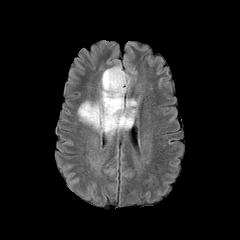
FLAIR MR.
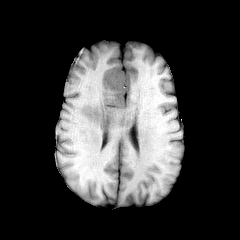
T1-weighted MRI.
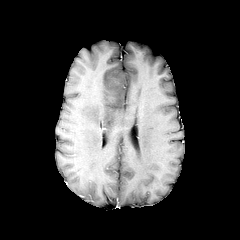
Same slice, post-contrast T1-weighted MR.
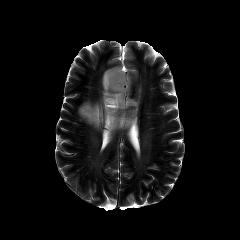
T2-weighted MR image of the same slice.
Axial view, Head
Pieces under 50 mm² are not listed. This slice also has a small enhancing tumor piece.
The peritumoral edema is at rect(78, 64, 138, 140).